FLAIR MR.
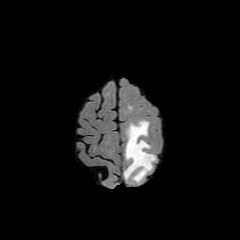
T1-weighted magnetic resonance.
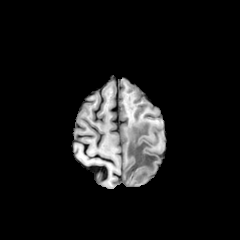
Post-contrast T1-weighted MR.
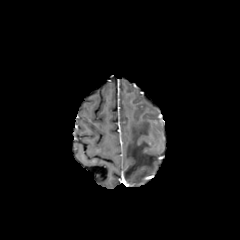
T2-weighted MR.
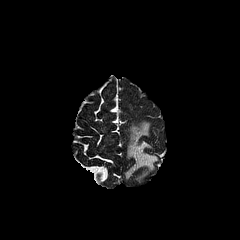
Axial slice. Head.
The peritumoral edema is bounded by box=[124, 121, 155, 181].